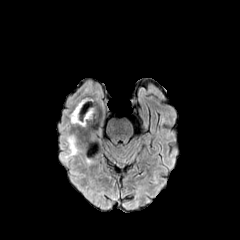
FLAIR MRI.
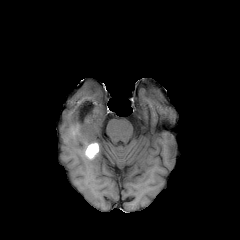
Same slice, T1-weighted MR image.
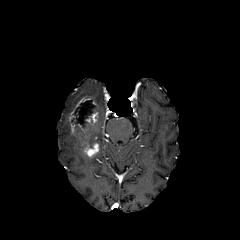
Post-contrast T1-weighted MR image.
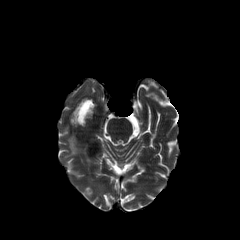
Same slice, T2-weighted magnetic resonance.
Brain | 240x240
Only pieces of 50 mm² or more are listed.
enhancing_tumor:
  - <bbox>69, 97, 100, 152</bbox>
necrotic_tumor_core:
  - <bbox>76, 100, 95, 123</bbox>
peritumoral_edema:
  - <bbox>63, 135, 80, 160</bbox>